Slice 119 of 155; Head
FLAIR MRI.
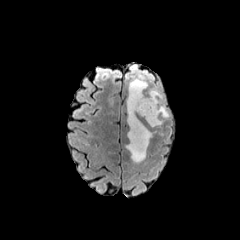
T1-weighted MR.
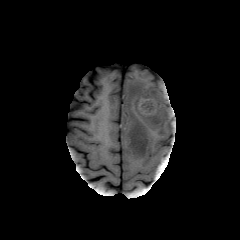
Post-contrast T1-weighted MR.
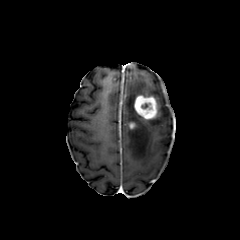
T2-weighted MRI.
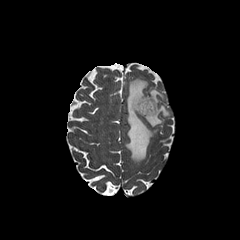
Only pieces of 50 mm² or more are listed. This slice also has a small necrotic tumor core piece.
peritumoral edema — (145,89,170,127), (126,79,153,162)
enhancing tumor — (134,95,158,119)